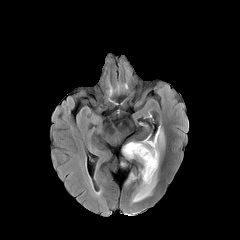
FLAIR MRI.
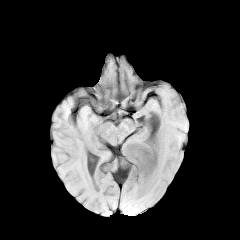
T1-weighted MR.
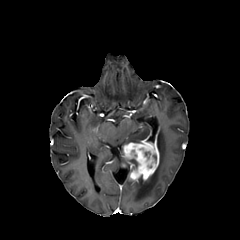
Post-contrast T1-weighted MR.
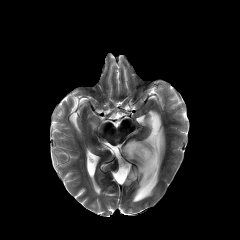
T2-weighted magnetic resonance.
Axial plane, Image size 240x240
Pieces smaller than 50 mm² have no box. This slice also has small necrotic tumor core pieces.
peritumoral edema: left=131, top=127, right=165, bottom=203
enhancing tumor: left=123, top=135, right=159, bottom=180